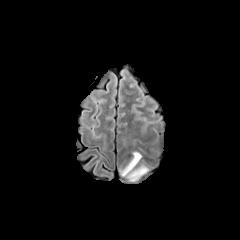
FLAIR MR image.
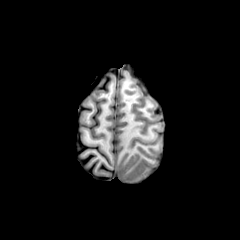
T1-weighted magnetic resonance.
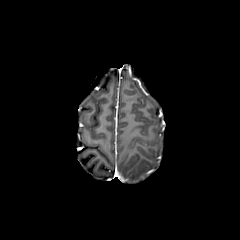
Post-contrast T1-weighted MRI.
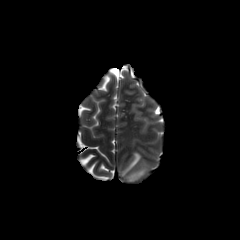
T2-weighted magnetic resonance.
Brain. Axial slice. Image size 240x240.
peritumoral edema: bounding box bbox(120, 152, 148, 181)